Image size 240x240 | Brain
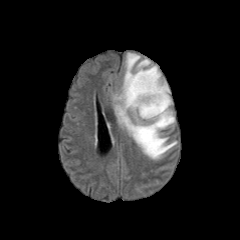
FLAIR MR.
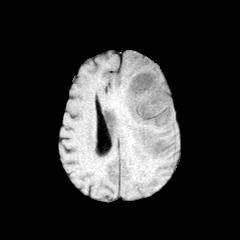
T1-weighted MRI.
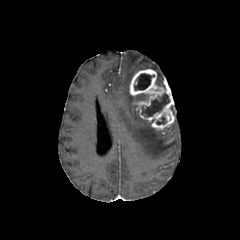
Post-contrast T1-weighted magnetic resonance.
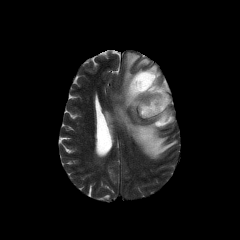
Same slice, T2-weighted magnetic resonance.
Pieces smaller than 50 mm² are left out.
<segmentation>
  <necrotic_tumor_core>rect(135, 94, 146, 100); rect(134, 73, 154, 90); rect(141, 93, 169, 116)</necrotic_tumor_core>
  <enhancing_tumor>rect(129, 69, 174, 129)</enhancing_tumor>
  <peritumoral_edema>rect(113, 52, 177, 159); rect(146, 65, 163, 84)</peritumoral_edema>
</segmentation>